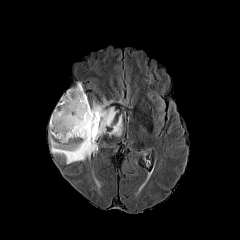
FLAIR MR image.
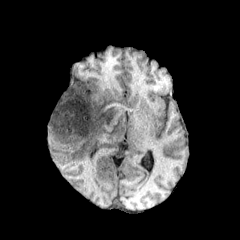
T1-weighted MR.
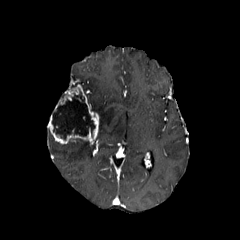
Same slice, post-contrast T1-weighted MRI.
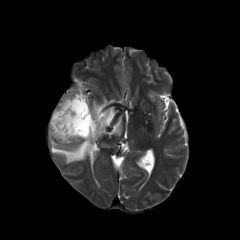
T2-weighted MRI.
Brain; Image size 240x240
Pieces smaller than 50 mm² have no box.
The necrotic tumor core is located at (52, 92, 95, 139). The largest enhancing tumor region lies within (47, 84, 99, 144). The 2 largest peritumoral edema regions are located at (49, 130, 96, 163), (91, 98, 122, 139).